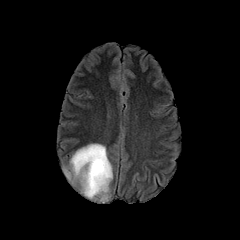
FLAIR magnetic resonance.
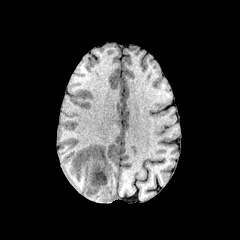
T1-weighted MRI.
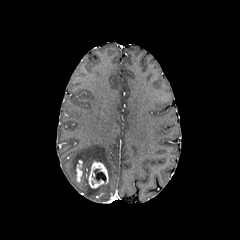
Same slice, post-contrast T1-weighted MRI.
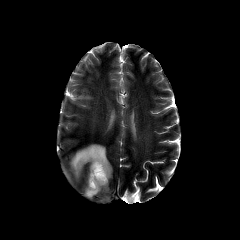
Same slice, T2-weighted MR.
Axial view.
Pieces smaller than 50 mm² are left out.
Annotated regions:
• necrotic tumor core: 94:169:106:181
• peritumoral edema: 64:144:112:201
• enhancing tumor: 76:160:82:181, 86:161:108:188